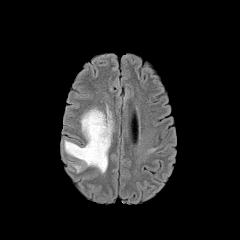
FLAIR MRI.
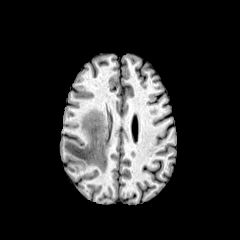
T1-weighted magnetic resonance.
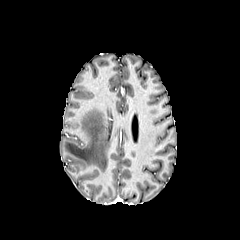
Post-contrast T1-weighted MR of the same slice.
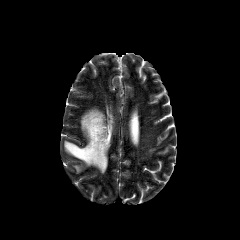
T2-weighted MR image of the same slice.
Axial slice
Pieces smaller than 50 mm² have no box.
peritumoral edema = (x1=64, y1=108, x2=112, y2=172)